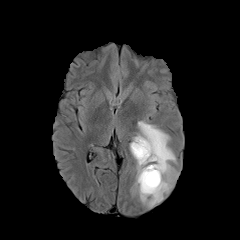
FLAIR MR image.
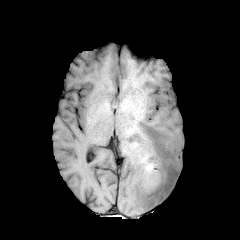
T1-weighted MRI.
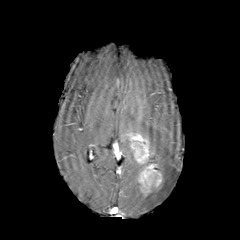
Post-contrast T1-weighted MRI of the same slice.
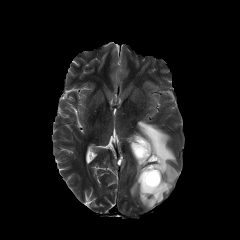
T2-weighted MR of the same slice.
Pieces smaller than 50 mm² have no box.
enhancing_tumor:
  - box(131, 134, 152, 163)
  - box(138, 164, 162, 195)
peritumoral_edema:
  - box(131, 121, 178, 207)
necrotic_tumor_core:
  - box(144, 172, 156, 188)